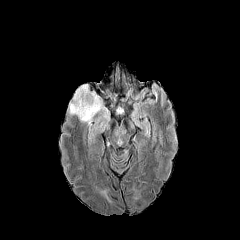
FLAIR magnetic resonance.
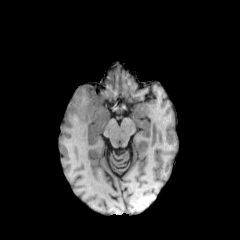
T1-weighted MR.
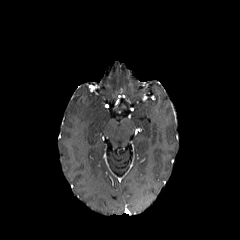
Post-contrast T1-weighted MRI of the same slice.
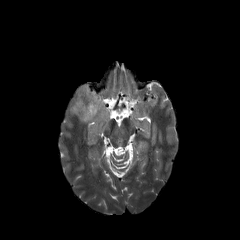
T2-weighted MR.
Axial plane | Brain
The peritumoral edema appears at <bbox>66, 83, 111, 131</bbox>.